Axial slice, Head, Slice index 70
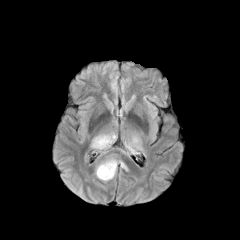
FLAIR MRI.
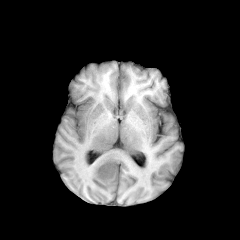
T1-weighted magnetic resonance of the same slice.
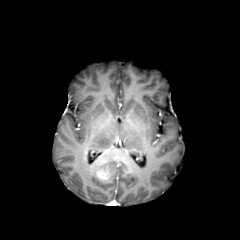
Post-contrast T1-weighted MR of the same slice.
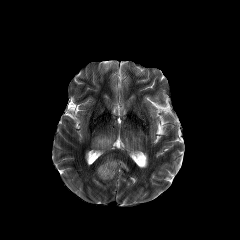
Same slice, T2-weighted magnetic resonance.
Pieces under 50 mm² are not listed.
peritumoral edema: bbox=[92, 135, 115, 154]; bbox=[126, 144, 136, 154]; bbox=[97, 156, 127, 179]
enhancing tumor: bbox=[95, 166, 111, 181]